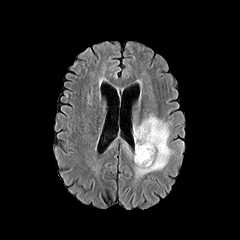
FLAIR MR image.
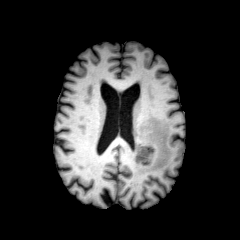
Same slice, T1-weighted MRI.
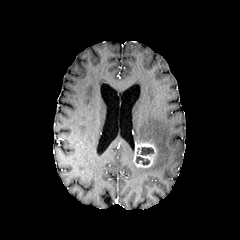
Post-contrast T1-weighted MR image.
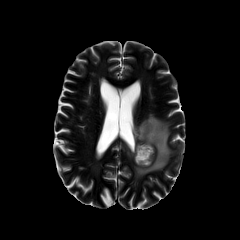
Same slice, T2-weighted MR.
Brain.
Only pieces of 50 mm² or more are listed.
Segmented structures:
- peritumoral edema: [133, 113, 174, 179]
- necrotic tumor core: [136, 156, 149, 165], [141, 147, 153, 155]
- enhancing tumor: [134, 142, 155, 167]